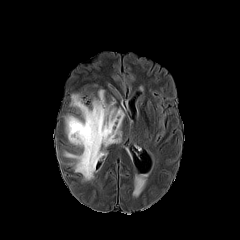
FLAIR MR.
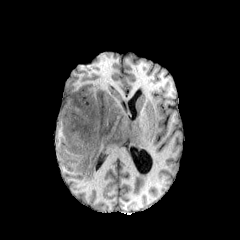
T1-weighted MR of the same slice.
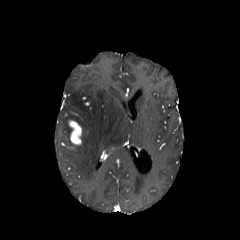
Post-contrast T1-weighted MRI.
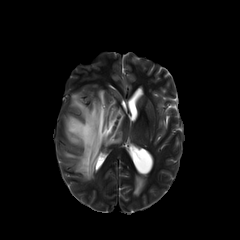
T2-weighted MRI of the same slice.
Image size 240x240
Annotated regions:
- peritumoral edema: bbox(132, 173, 149, 197); bbox(64, 89, 124, 180)
- enhancing tumor: bbox(68, 120, 81, 145)